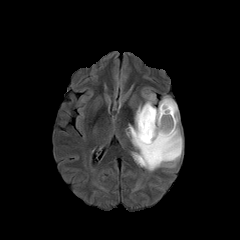
FLAIR MRI.
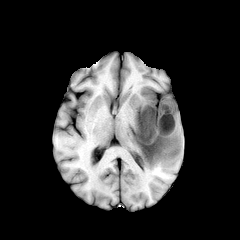
T1-weighted magnetic resonance.
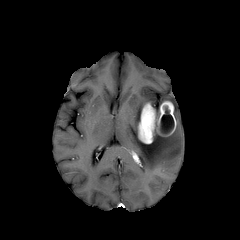
Post-contrast T1-weighted magnetic resonance.
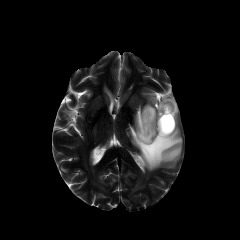
Same slice, T2-weighted MR.
<segmentation>
  <necrotic_tumor_core>left=160, top=107, right=174, bottom=134</necrotic_tumor_core>
  <peritumoral_edema>left=145, top=94, right=155, bottom=107; left=127, top=96, right=182, bottom=171</peritumoral_edema>
  <enhancing_tumor>left=138, top=101, right=176, bottom=143</enhancing_tumor>
</segmentation>